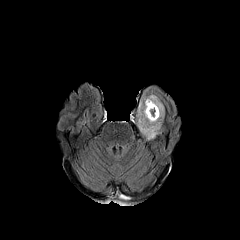
FLAIR MRI.
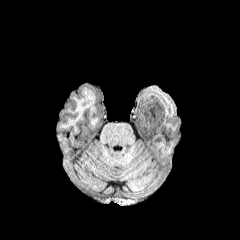
T1-weighted MRI.
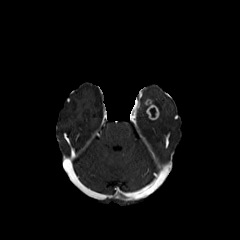
Same slice, post-contrast T1-weighted magnetic resonance.
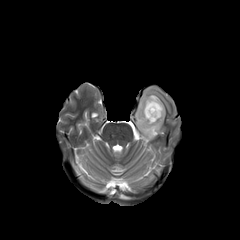
T2-weighted MRI.
Image size 240x240. Brain.
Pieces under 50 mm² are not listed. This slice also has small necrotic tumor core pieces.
The enhancing tumor is located at (145,99,159,120). The peritumoral edema appears at (137,94,164,139).